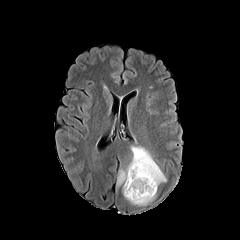
FLAIR MRI.
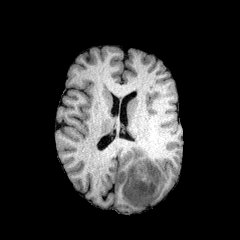
Same slice, T1-weighted MR image.
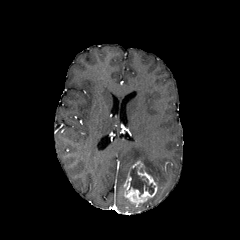
Same slice, post-contrast T1-weighted MR.
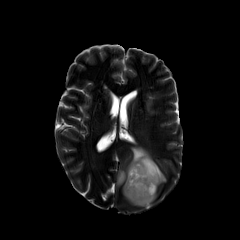
Same slice, T2-weighted MR.
Axial plane | Brain
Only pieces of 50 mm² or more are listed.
<segmentation>
  <enhancing_tumor>[123,160,157,206]</enhancing_tumor>
  <necrotic_tumor_core>[129,167,155,196]</necrotic_tumor_core>
  <peritumoral_edema>[117,146,166,185]</peritumoral_edema>
</segmentation>